FLAIR magnetic resonance.
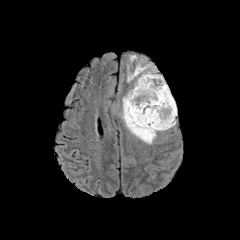
T1-weighted MR image.
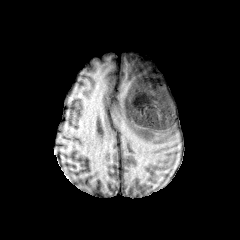
Post-contrast T1-weighted magnetic resonance.
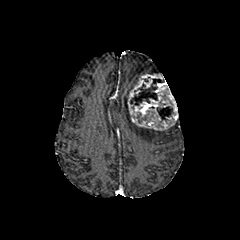
T2-weighted MR.
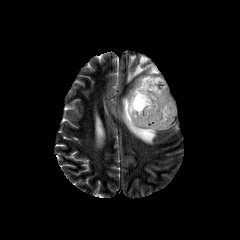
Head
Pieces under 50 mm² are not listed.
necrotic_tumor_core:
  - <box>130,79,164,105</box>
  - <box>157,106,173,120</box>
enhancing_tumor:
  - <box>127,73,177,130</box>
peritumoral_edema:
  - <box>121,95,157,143</box>
  - <box>127,58,156,82</box>